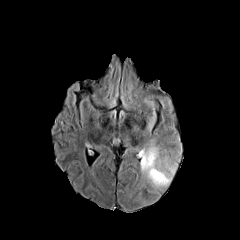
FLAIR magnetic resonance.
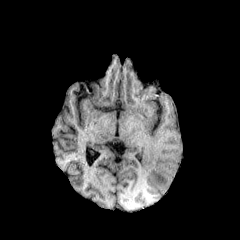
Same slice, T1-weighted MR image.
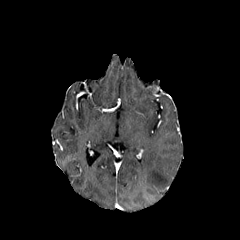
Same slice, post-contrast T1-weighted MRI.
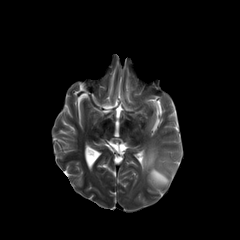
T2-weighted MR image.
Axial plane; 240x240 px; Brain
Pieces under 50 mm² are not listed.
peritumoral edema: bounding box 139:141:177:189